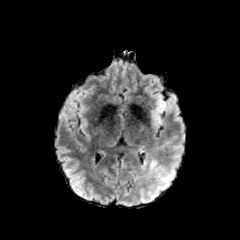
FLAIR MR image.
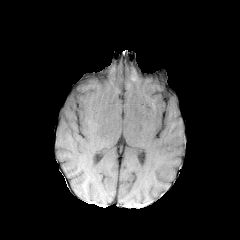
T1-weighted MR of the same slice.
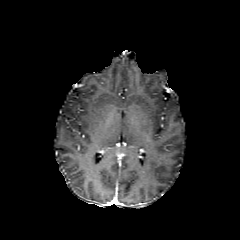
Post-contrast T1-weighted MR.
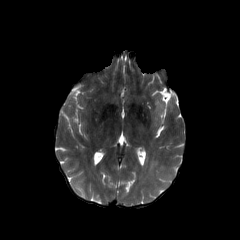
Same slice, T2-weighted MR image.
240x240 px
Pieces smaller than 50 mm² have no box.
peritumoral edema at {"x1": 151, "y1": 90, "x2": 177, "y2": 133}